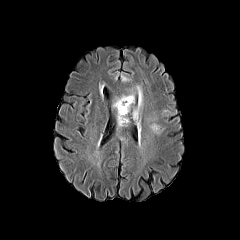
FLAIR magnetic resonance.
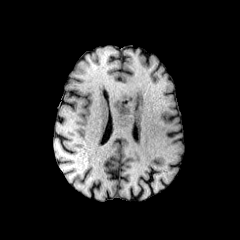
T1-weighted MR.
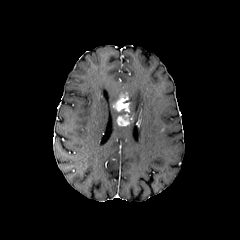
Post-contrast T1-weighted MR image.
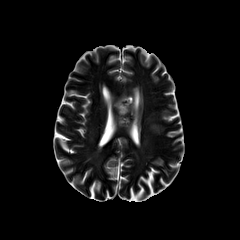
Same slice, T2-weighted MRI.
Head; Axial plane; Image size 240x240
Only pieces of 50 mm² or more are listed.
peritumoral edema at [151, 123, 162, 133], [128, 86, 142, 120]
enhancing tumor at [113, 93, 131, 125]